FLAIR MR.
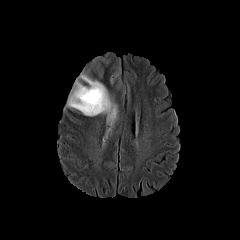
T1-weighted magnetic resonance.
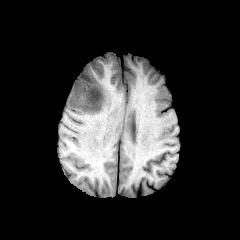
Post-contrast T1-weighted MR.
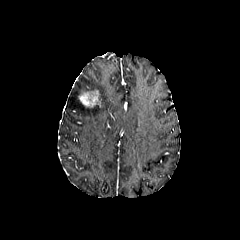
T2-weighted MRI.
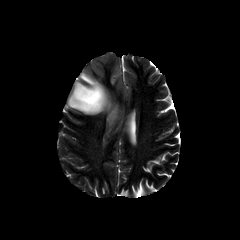
Head | Axial plane
enhancing tumor = l=78, t=90, r=100, b=107
peritumoral edema = l=67, t=52, r=121, b=131